FLAIR MR.
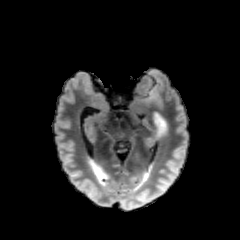
T1-weighted MR.
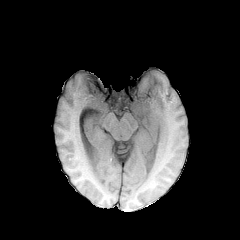
Post-contrast T1-weighted MRI.
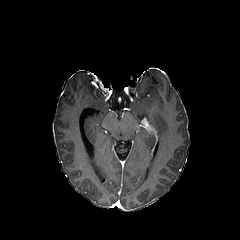
T2-weighted MR image.
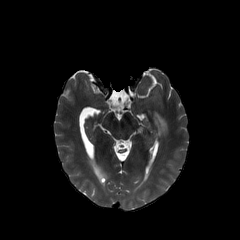
* peritumoral edema: 153,114,166,135